Image width 240 mm, 1.00 mm slice spacing; Slice index 107; Image size 240x240
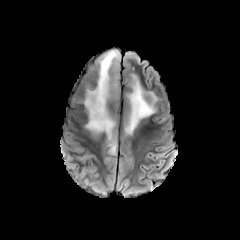
FLAIR MR.
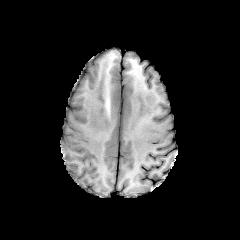
T1-weighted magnetic resonance of the same slice.
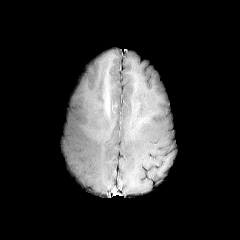
Post-contrast T1-weighted MRI of the same slice.
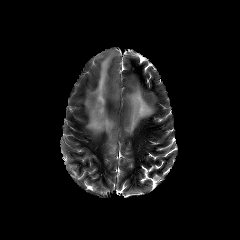
T2-weighted MR.
Segmented structures:
• peritumoral edema: <bbox>123, 73, 157, 135</bbox>, <bbox>82, 49, 120, 155</bbox>